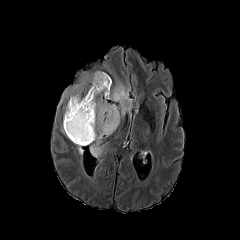
FLAIR MR.
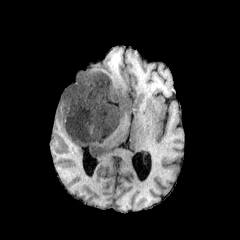
T1-weighted MR image.
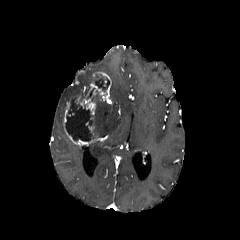
Same slice, post-contrast T1-weighted MRI.
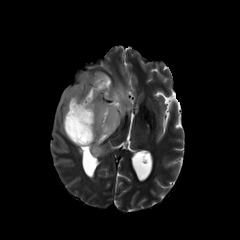
T2-weighted MR of the same slice.
Head
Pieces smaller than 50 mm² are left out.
enhancing tumor: (x1=63, y1=71, x2=111, y2=146)
necrotic tumor core: (x1=94, y1=77, x2=109, y2=91), (x1=65, y1=97, x2=94, y2=141)
peritumoral edema: (x1=90, y1=141, x2=103, y2=157), (x1=59, y1=73, x2=92, y2=105), (x1=96, y1=78, x2=132, y2=138)